FLAIR MR image.
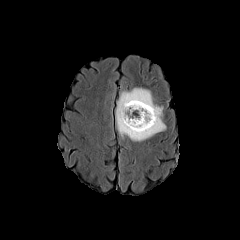
T1-weighted MR image.
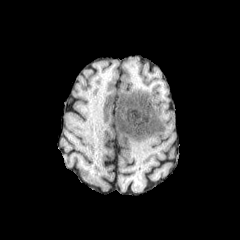
Post-contrast T1-weighted MR.
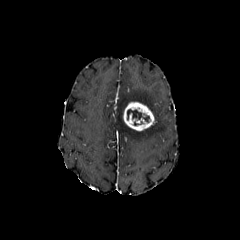
T2-weighted MR.
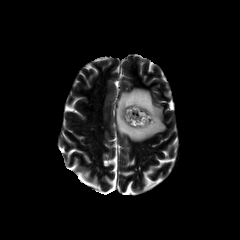
Brain. Axial plane.
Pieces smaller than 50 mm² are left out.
Annotated regions:
* necrotic tumor core: <box>127,109,141,119</box>
* enhancing tumor: <box>123,102,155,131</box>
* peritumoral edema: <box>116,88,166,141</box>